Image size 240x240, Axial plane
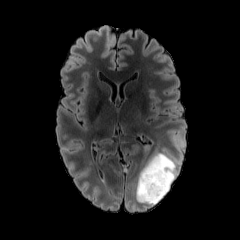
FLAIR magnetic resonance.
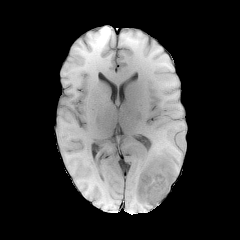
Same slice, T1-weighted magnetic resonance.
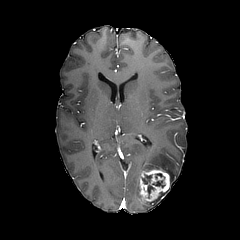
Post-contrast T1-weighted MRI.
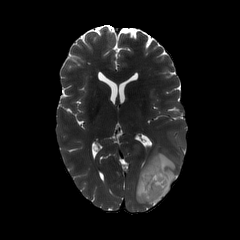
Same slice, T2-weighted MRI.
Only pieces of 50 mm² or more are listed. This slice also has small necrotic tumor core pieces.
peritumoral edema: region(136, 152, 179, 206) | enhancing tumor: region(139, 169, 169, 202)